Axial plane | Image width 240 mm, 1.00 mm slice spacing
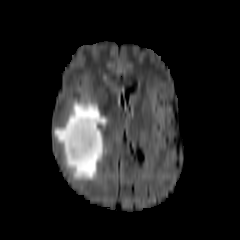
FLAIR magnetic resonance.
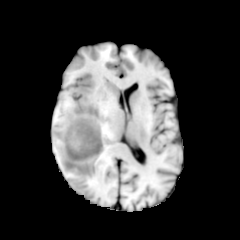
Same slice, T1-weighted MR.
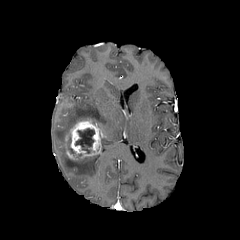
Post-contrast T1-weighted magnetic resonance.
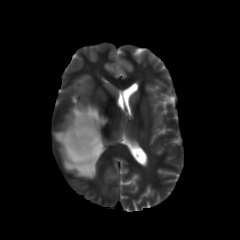
T2-weighted MRI.
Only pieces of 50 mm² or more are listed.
peritumoral edema — {"x1": 54, "y1": 100, "x2": 107, "y2": 152}, {"x1": 65, "y1": 128, "x2": 106, "y2": 180}
necrotic tumor core — {"x1": 75, "y1": 128, "x2": 94, "y2": 153}, {"x1": 68, "y1": 137, "x2": 75, "y2": 155}
enhancing tumor — {"x1": 64, "y1": 118, "x2": 101, "y2": 160}